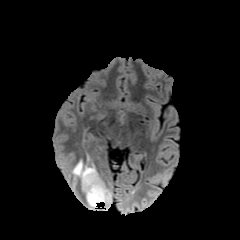
FLAIR MRI.
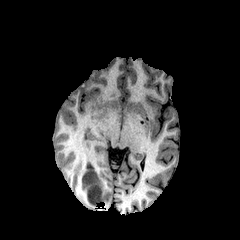
T1-weighted magnetic resonance.
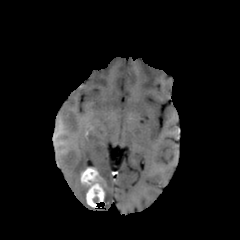
Post-contrast T1-weighted MRI of the same slice.
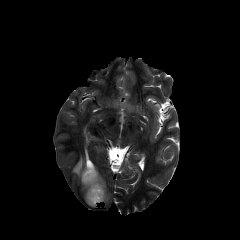
T2-weighted magnetic resonance.
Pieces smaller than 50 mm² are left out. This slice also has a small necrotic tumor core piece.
The 2 largest peritumoral edema regions are located at left=102, top=181, right=111, bottom=203; left=72, top=159, right=86, bottom=180. The enhancing tumor appears at left=81, top=167, right=104, bottom=207.